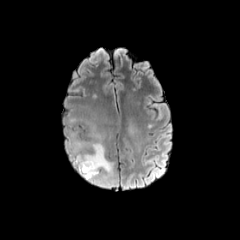
FLAIR MRI.
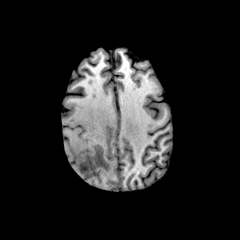
T1-weighted MR of the same slice.
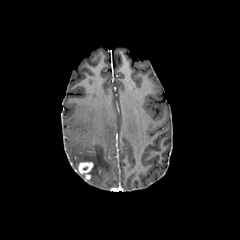
Post-contrast T1-weighted magnetic resonance.
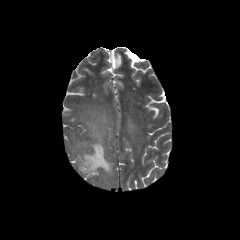
T2-weighted MR image of the same slice.
Image size 240x240; Axial slice; Brain
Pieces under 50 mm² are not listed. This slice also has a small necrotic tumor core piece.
enhancing_tumor:
  - 78, 162, 93, 177
peritumoral_edema:
  - 71, 125, 114, 184